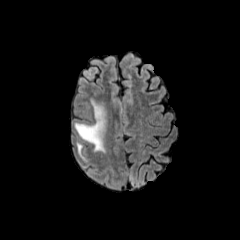
FLAIR MR image.
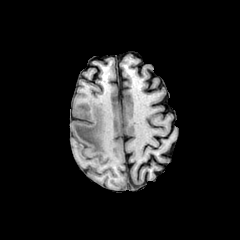
T1-weighted MR.
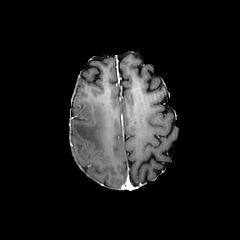
Same slice, post-contrast T1-weighted MRI.
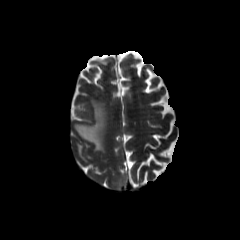
T2-weighted MR.
Axial plane
2 peritumoral edema regions are bounded by [x1=77, y1=143, x2=86, y2=162], [x1=73, y1=99, x2=106, y2=153].